FLAIR MR.
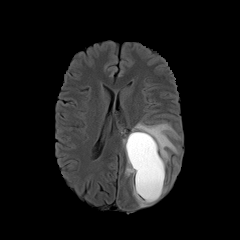
T1-weighted MR image.
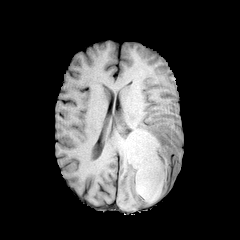
Post-contrast T1-weighted MR image.
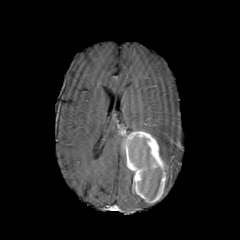
T2-weighted magnetic resonance.
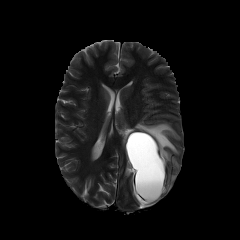
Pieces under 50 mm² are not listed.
The 3 largest peritumoral edema regions are bounded by box(132, 189, 151, 207); box(130, 121, 179, 173); box(125, 164, 133, 188). The necrotic tumor core appears at box(126, 135, 161, 199). The enhancing tumor is at box(124, 131, 166, 203).